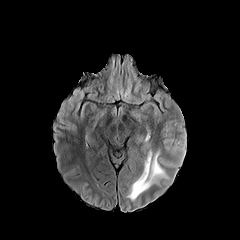
FLAIR MR.
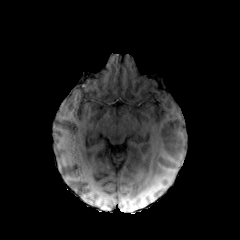
T1-weighted MRI.
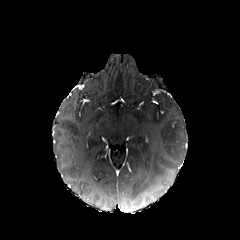
Post-contrast T1-weighted MRI.
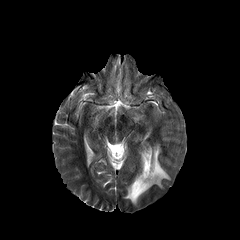
T2-weighted magnetic resonance.
peritumoral edema: bounding box bbox=[125, 146, 170, 202]